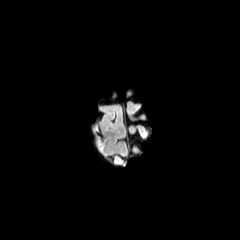
FLAIR MR image.
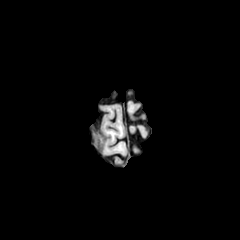
Same slice, T1-weighted MRI.
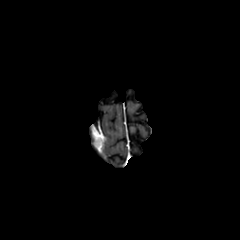
Post-contrast T1-weighted MRI of the same slice.
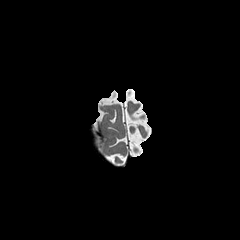
T2-weighted MR image.
Axial slice
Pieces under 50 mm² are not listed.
- enhancing tumor: bbox=[96, 140, 104, 151]